FLAIR MR image.
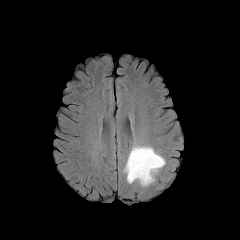
T1-weighted MR.
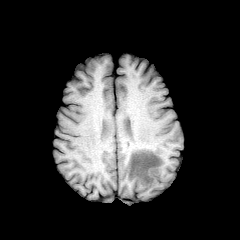
Post-contrast T1-weighted magnetic resonance.
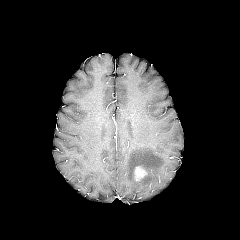
T2-weighted MR.
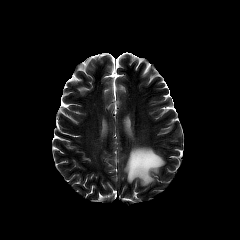
Axial plane
enhancing tumor — left=134, top=166, right=147, bottom=180
peritumoral edema — left=123, top=145, right=165, bottom=186